FLAIR magnetic resonance.
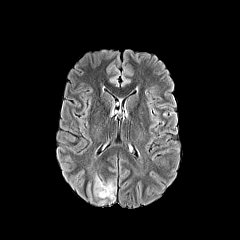
T1-weighted MRI.
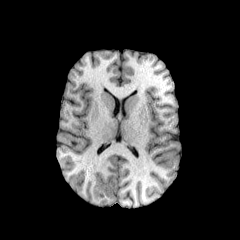
Post-contrast T1-weighted magnetic resonance.
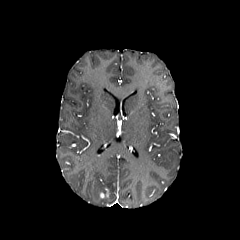
T2-weighted magnetic resonance.
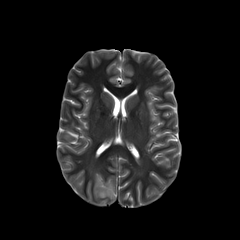
Image size 240x240 | Brain
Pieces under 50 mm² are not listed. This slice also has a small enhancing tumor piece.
peritumoral edema: {"x1": 93, "y1": 174, "x2": 116, "y2": 203}